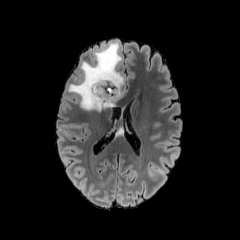
FLAIR MRI.
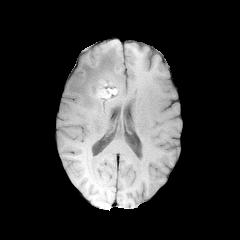
T1-weighted MR image of the same slice.
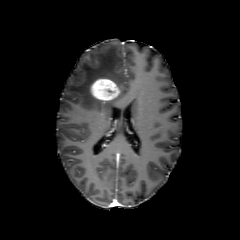
Same slice, post-contrast T1-weighted MR image.
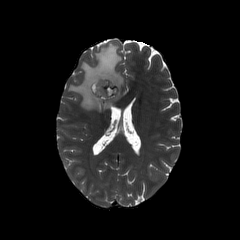
T2-weighted MR of the same slice.
Axial slice | Brain
{"peritumoral_edema": ["region(67, 43, 125, 111)"], "necrotic_tumor_core": ["region(99, 82, 115, 97)"], "enhancing_tumor": ["region(90, 78, 120, 102)"]}